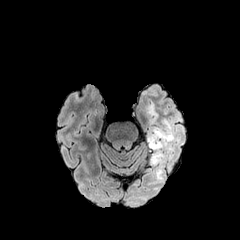
FLAIR magnetic resonance.
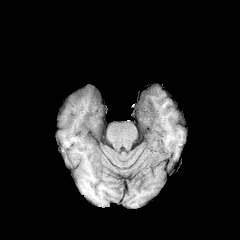
T1-weighted magnetic resonance of the same slice.
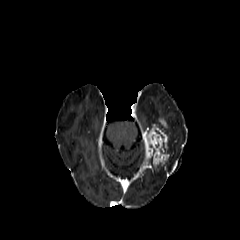
Same slice, post-contrast T1-weighted MRI.
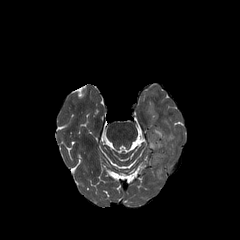
T2-weighted MR of the same slice.
Axial slice
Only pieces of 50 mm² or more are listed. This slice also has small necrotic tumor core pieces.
enhancing tumor = bbox(147, 119, 169, 166)
peritumoral edema = bbox(159, 118, 178, 153); bbox(155, 164, 162, 180); bbox(146, 105, 157, 124)